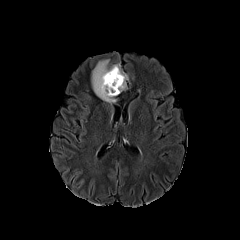
FLAIR MR.
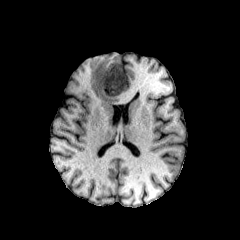
T1-weighted MR.
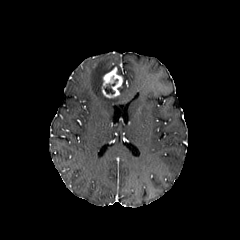
Same slice, post-contrast T1-weighted magnetic resonance.
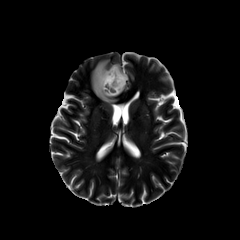
Same slice, T2-weighted MR.
Head. 240x240 px.
Annotated regions:
- enhancing tumor: left=102, top=66, right=123, bottom=97
- peritumoral edema: left=91, top=59, right=128, bottom=103
- necrotic tumor core: left=104, top=79, right=117, bottom=94